Head
FLAIR MR image.
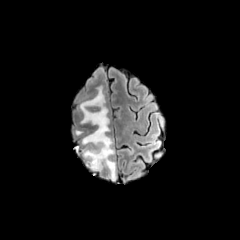
T1-weighted MR.
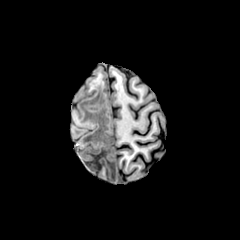
Post-contrast T1-weighted MRI.
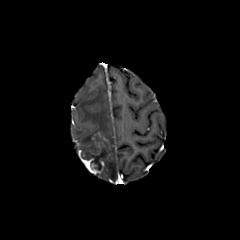
T2-weighted MR image.
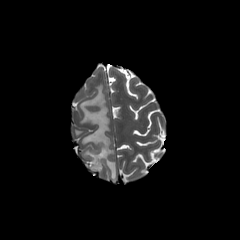
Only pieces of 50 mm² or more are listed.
peritumoral_edema:
  - [74, 85, 116, 180]
enhancing_tumor:
  - [77, 131, 108, 174]
necrotic_tumor_core:
  - [81, 148, 106, 170]